240x240 px
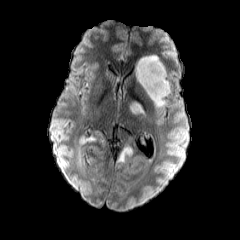
FLAIR MRI.
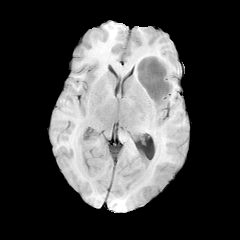
T1-weighted MR image of the same slice.
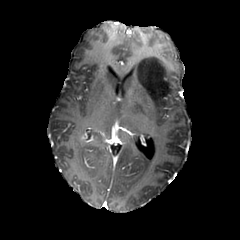
Post-contrast T1-weighted MR image.
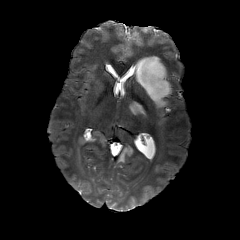
T2-weighted MR.
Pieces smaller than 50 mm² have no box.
Segmented structures:
- enhancing tumor: <bbox>80, 136, 94, 142</bbox>
- peritumoral edema: <bbox>118, 147, 131, 162</bbox>, <bbox>130, 100, 145, 114</bbox>, <bbox>135, 55, 171, 107</bbox>